Slice 49 of 155, Brain
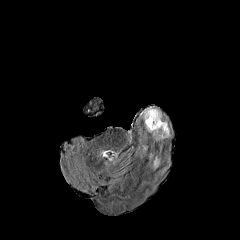
FLAIR magnetic resonance.
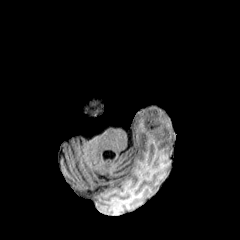
Same slice, T1-weighted magnetic resonance.
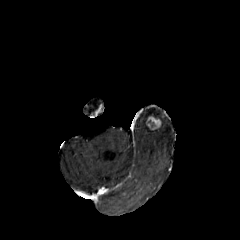
Post-contrast T1-weighted MRI of the same slice.
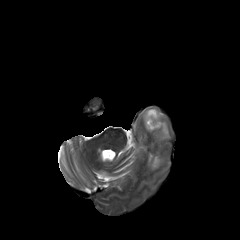
T2-weighted MR.
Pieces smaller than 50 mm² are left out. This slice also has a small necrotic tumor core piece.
* peritumoral edema: x1=146 y1=122 x2=169 y2=139, x1=141 y1=108 x2=161 y2=123
* enhancing tumor: x1=146 y1=116 x2=161 y2=129